FLAIR MRI.
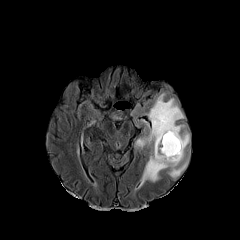
T1-weighted magnetic resonance.
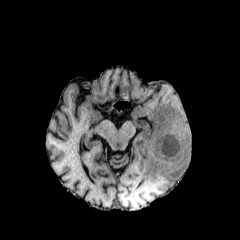
Post-contrast T1-weighted magnetic resonance.
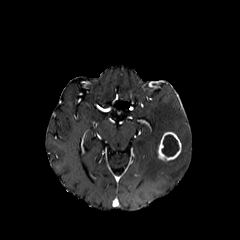
T2-weighted MR image.
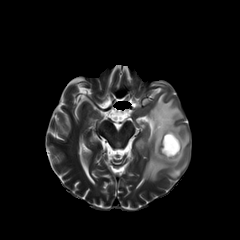
240x240 px, Axial plane, Head
Findings:
- necrotic tumor core: rect(162, 135, 178, 156)
- enhancing tumor: rect(157, 131, 181, 161)
- peritumoral edema: rect(135, 93, 190, 184)